FLAIR MR image.
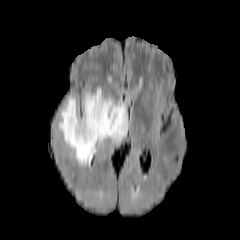
T1-weighted magnetic resonance.
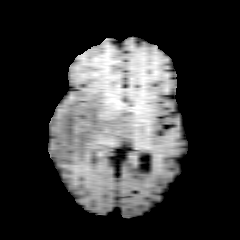
Post-contrast T1-weighted MRI.
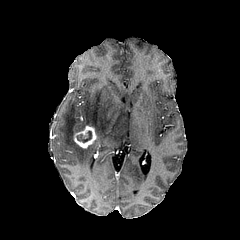
T2-weighted MRI.
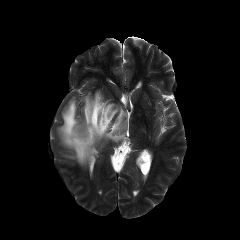
Head, 240x240 px
The necrotic tumor core is bounded by 77 131 91 142. The enhancing tumor is located at 74 125 96 148. The peritumoral edema is located at 59 89 128 166.